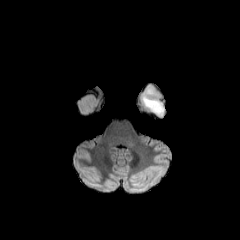
FLAIR MR image.
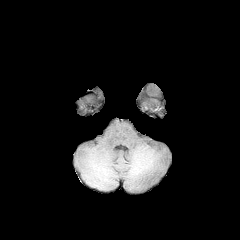
T1-weighted magnetic resonance.
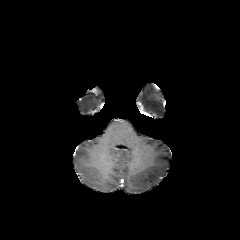
Same slice, post-contrast T1-weighted MR.
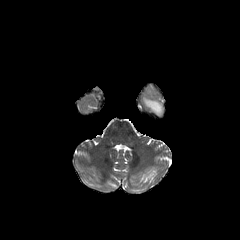
T2-weighted magnetic resonance.
Axial view
{"peritumoral_edema": ["(142, 88, 165, 118)"]}